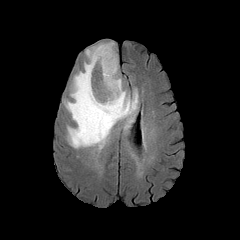
FLAIR MR image.
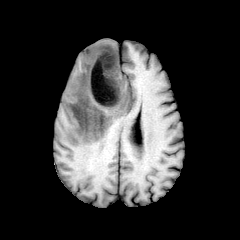
T1-weighted MR.
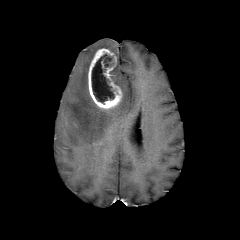
Post-contrast T1-weighted MR.
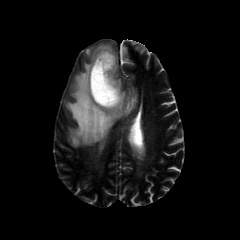
T2-weighted magnetic resonance.
Axial slice, Head
necrotic_tumor_core:
  - [91, 54, 114, 103]
peritumoral_edema:
  - [64, 42, 138, 149]
enhancing_tumor:
  - [88, 48, 122, 109]